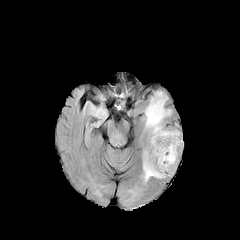
FLAIR MR image.
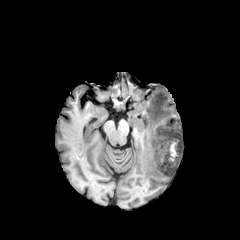
T1-weighted magnetic resonance.
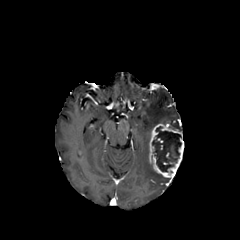
Post-contrast T1-weighted MRI of the same slice.
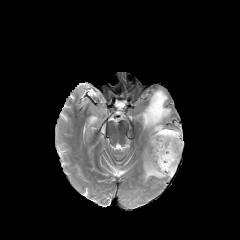
T2-weighted MR.
Head. Axial view.
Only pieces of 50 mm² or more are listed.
The necrotic tumor core is at left=152, top=126, right=181, bottom=171. The largest enhancing tumor region lies within left=148, top=123, right=183, bottom=177. 2 peritumoral edema regions are located at left=143, top=150, right=164, bottom=181; left=144, top=91, right=171, bottom=132.